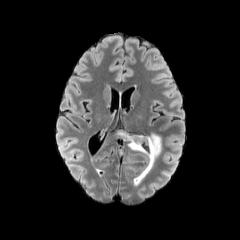
FLAIR MR.
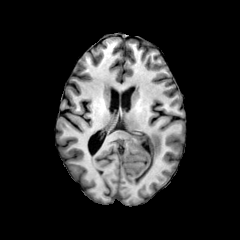
T1-weighted MR image of the same slice.
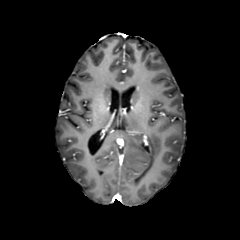
Post-contrast T1-weighted magnetic resonance.
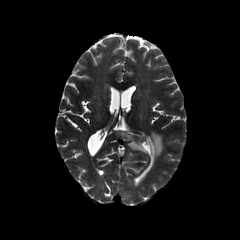
T2-weighted magnetic resonance of the same slice.
240x240 px
peritumoral edema — <bbox>127, 130, 161, 185</bbox>